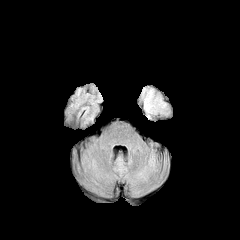
FLAIR MR image.
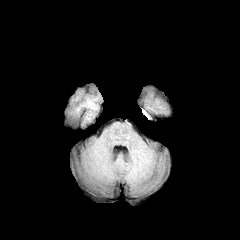
T1-weighted MR image of the same slice.
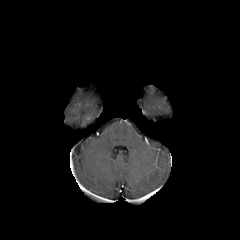
Post-contrast T1-weighted MRI.
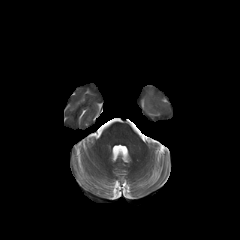
T2-weighted MR of the same slice.
240x240 px. Brain.
peritumoral_edema:
  - bbox(139, 85, 168, 115)